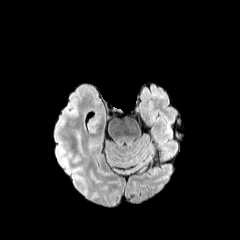
FLAIR MRI.
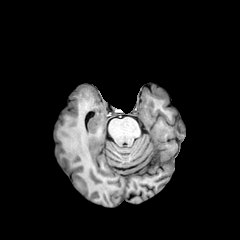
T1-weighted magnetic resonance of the same slice.
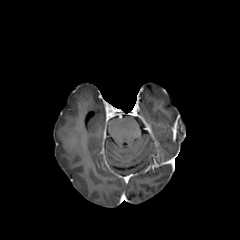
Same slice, post-contrast T1-weighted MR.
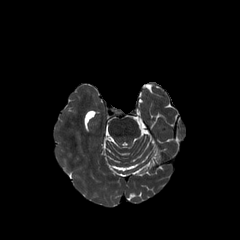
T2-weighted MR.
Axial plane.
<segmentation>
  <peritumoral_edema>77, 131, 82, 152</peritumoral_edema>
</segmentation>